240x240
FLAIR magnetic resonance.
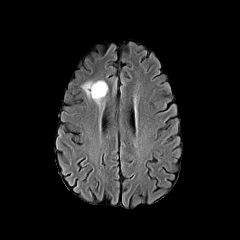
T1-weighted MRI.
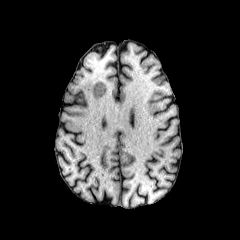
Post-contrast T1-weighted MR image.
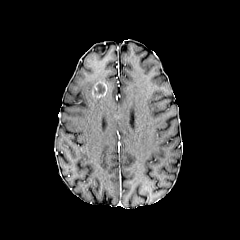
T2-weighted MR.
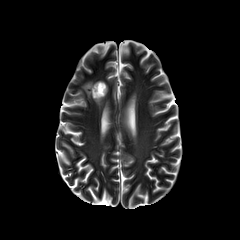
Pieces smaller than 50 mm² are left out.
necrotic tumor core at {"x1": 94, "y1": 83, "x2": 104, "y2": 93}
enhancing tumor at {"x1": 92, "y1": 81, "x2": 107, "y2": 98}
peritumoral edema at {"x1": 82, "y1": 81, "x2": 104, "y2": 107}